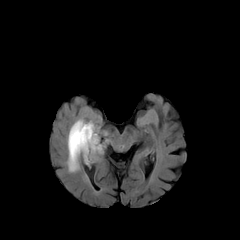
FLAIR MR.
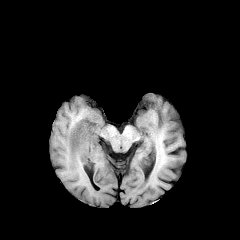
T1-weighted magnetic resonance of the same slice.
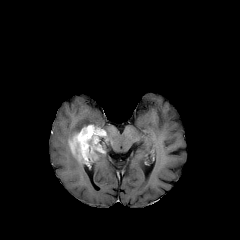
Post-contrast T1-weighted MR image.
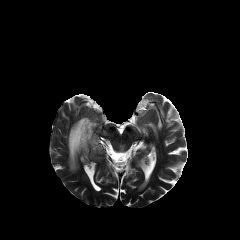
T2-weighted MR image.
Image size 240x240; Brain
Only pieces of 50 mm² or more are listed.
{
  "peritumoral_edema": [
    "67:118:100:171"
  ],
  "enhancing_tumor": [
    "69:125:108:165"
  ]
}